Slice index 61 | Image width 240 mm, 1.00 mm slice spacing | 240x240 px | Axial plane
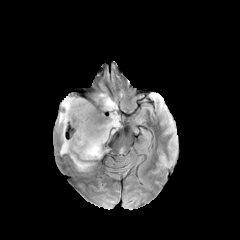
FLAIR MR.
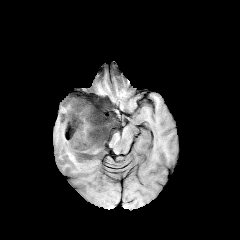
Same slice, T1-weighted MRI.
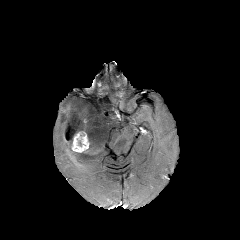
Same slice, post-contrast T1-weighted MRI.
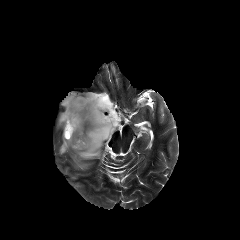
T2-weighted MR image.
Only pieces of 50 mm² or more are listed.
peritumoral edema at {"x1": 57, "y1": 93, "x2": 120, "y2": 170}
necrotic tumor core at {"x1": 65, "y1": 128, "x2": 76, "y2": 139}
enhancing tumor at {"x1": 64, "y1": 126, "x2": 89, "y2": 152}